Slice index 93, Axial plane, Head
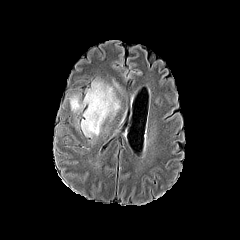
FLAIR MR image.
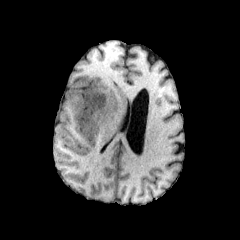
T1-weighted magnetic resonance.
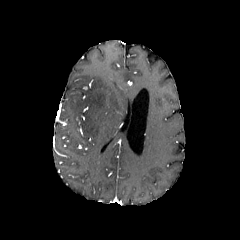
Post-contrast T1-weighted magnetic resonance of the same slice.
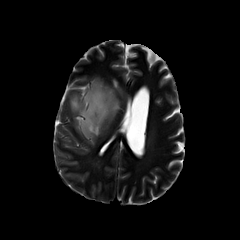
T2-weighted MRI.
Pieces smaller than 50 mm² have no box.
<segmentation>
  <peritumoral_edema>x1=70, y1=80, x2=119, y2=136</peritumoral_edema>
</segmentation>